FLAIR magnetic resonance.
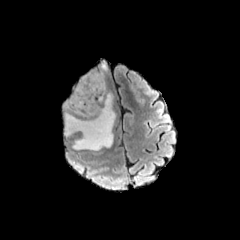
T1-weighted MR image.
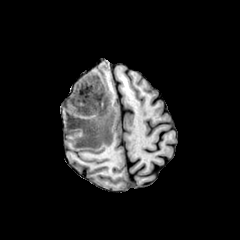
Post-contrast T1-weighted magnetic resonance.
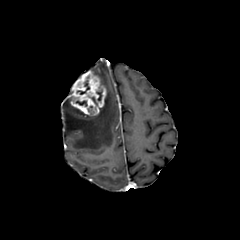
T2-weighted MRI.
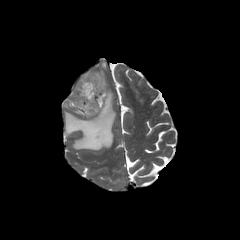
Axial view
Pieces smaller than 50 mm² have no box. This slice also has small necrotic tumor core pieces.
Findings:
• peritumoral edema: (left=74, top=108, right=87, bottom=115), (left=65, top=92, right=115, bottom=150)
• enhancing tumor: (left=70, top=71, right=106, bottom=115)